FLAIR MR.
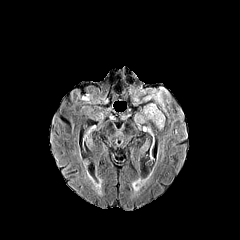
T1-weighted MR image.
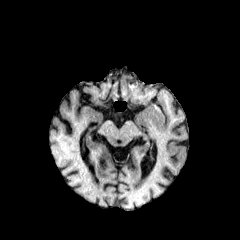
Post-contrast T1-weighted magnetic resonance.
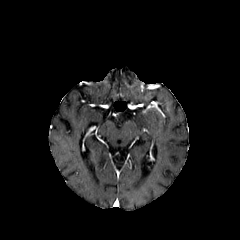
T2-weighted MR image.
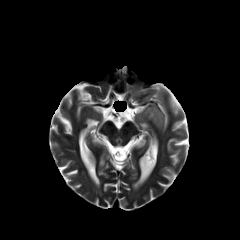
Brain
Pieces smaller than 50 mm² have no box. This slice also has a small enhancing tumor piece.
The 2 largest peritumoral edema regions are bounded by {"x1": 146, "y1": 91, "x2": 161, "y2": 102}, {"x1": 145, "y1": 108, "x2": 164, "y2": 128}.